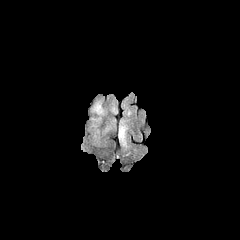
FLAIR MR image.
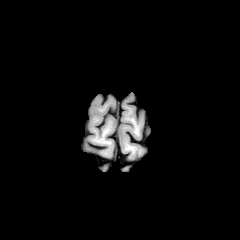
Same slice, T1-weighted magnetic resonance.
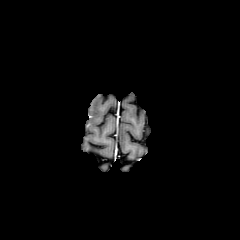
Post-contrast T1-weighted MR image of the same slice.
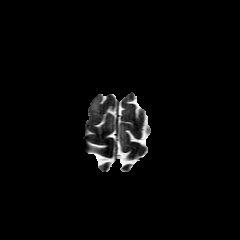
T2-weighted MR.
Brain.
peritumoral_edema:
  - [x1=120, y1=126, x2=124, y2=140]